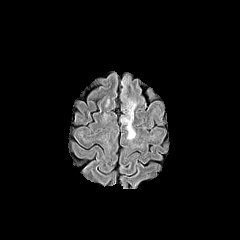
FLAIR magnetic resonance.
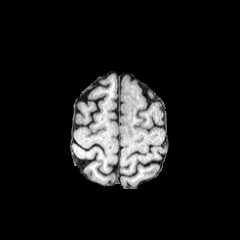
T1-weighted magnetic resonance.
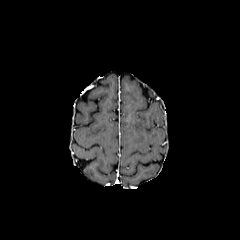
Post-contrast T1-weighted MR image of the same slice.
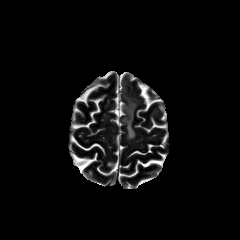
T2-weighted MRI.
Image size 240x240. Axial view.
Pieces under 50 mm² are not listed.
peritumoral_edema:
  - l=121, t=74, r=139, b=139